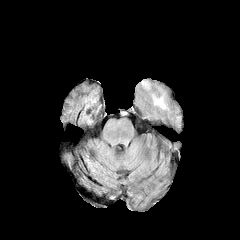
FLAIR MR image.
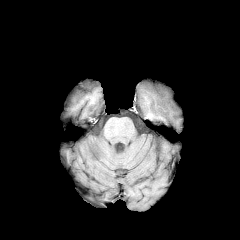
T1-weighted magnetic resonance.
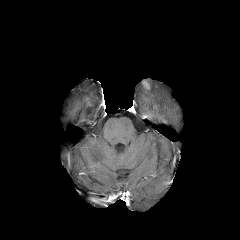
Post-contrast T1-weighted MRI.
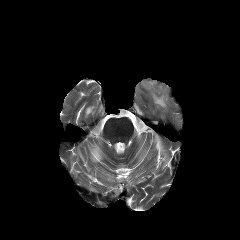
T2-weighted MR.
Brain
The peritumoral edema is bounded by left=152, top=93, right=168, bottom=109. The enhancing tumor appears at left=143, top=81, right=150, bottom=89.